FLAIR MR image.
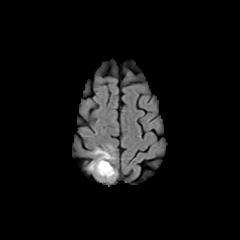
T1-weighted MRI.
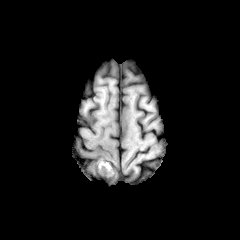
Post-contrast T1-weighted MR image.
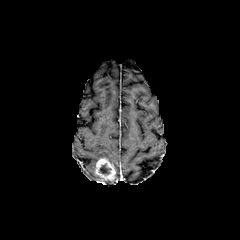
T2-weighted magnetic resonance.
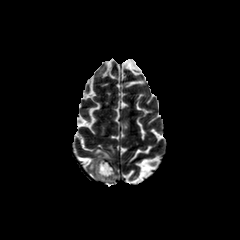
Axial slice
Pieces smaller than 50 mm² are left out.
<segmentation>
  <necrotic_tumor_core>box(99, 163, 111, 174)</necrotic_tumor_core>
  <peritumoral_edema>box(89, 160, 97, 171); box(93, 148, 114, 160)</peritumoral_edema>
  <enhancing_tumor>box(95, 158, 115, 180)</enhancing_tumor>
</segmentation>